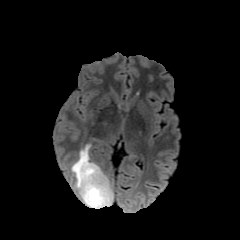
FLAIR MRI.
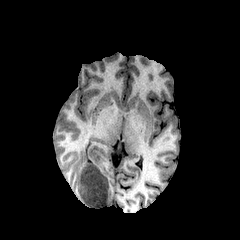
T1-weighted MR image.
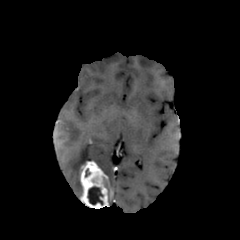
Post-contrast T1-weighted MR image.
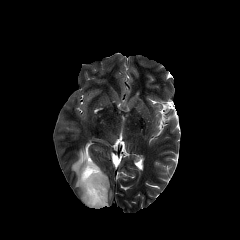
T2-weighted magnetic resonance.
Head; 240x240; Axial plane
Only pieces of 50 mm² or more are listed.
enhancing tumor: 80, 161, 112, 208 | peritumoral edema: 71, 144, 92, 196 | necrotic tumor core: 88, 187, 102, 204